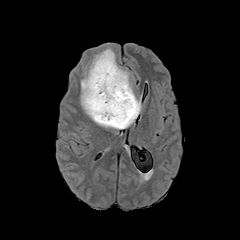
FLAIR magnetic resonance.
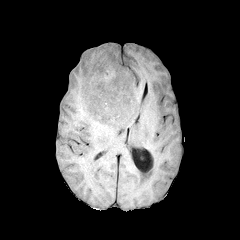
T1-weighted magnetic resonance.
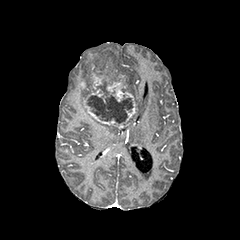
Post-contrast T1-weighted MR.
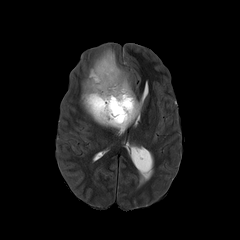
Same slice, T2-weighted MR.
Axial view.
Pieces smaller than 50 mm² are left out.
The largest necrotic tumor core region is bounded by (87, 95, 132, 123). The largest enhancing tumor region is at (86, 61, 136, 128). The peritumoral edema is located at (80, 48, 141, 129).